FLAIR MR.
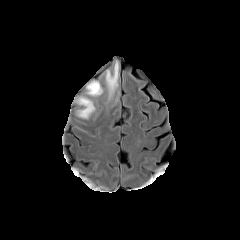
T1-weighted magnetic resonance.
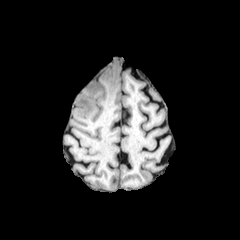
Post-contrast T1-weighted MRI.
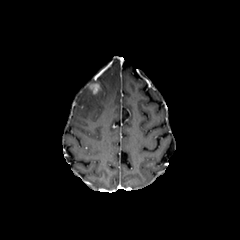
T2-weighted MR image.
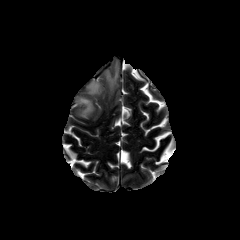
Axial view
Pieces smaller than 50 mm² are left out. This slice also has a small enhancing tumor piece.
Annotated regions:
* peritumoral edema: rect(76, 96, 95, 118); rect(86, 81, 102, 96); rect(102, 60, 119, 99)